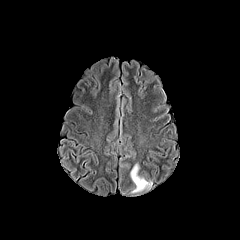
FLAIR MR image.
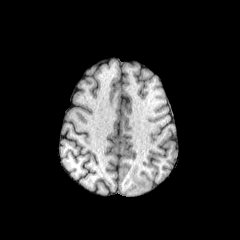
T1-weighted MRI.
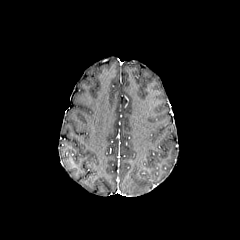
Post-contrast T1-weighted MR image of the same slice.
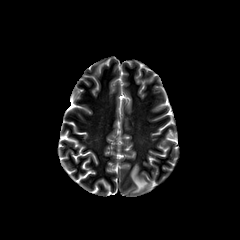
T2-weighted MR.
Head
• peritumoral edema: 130, 164, 152, 193